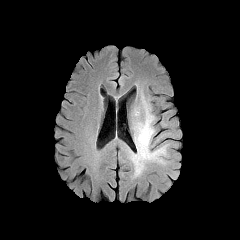
FLAIR magnetic resonance.
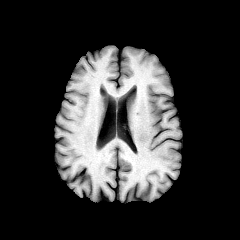
Same slice, T1-weighted MR image.
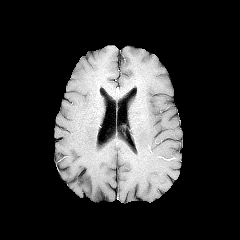
Same slice, post-contrast T1-weighted MR.
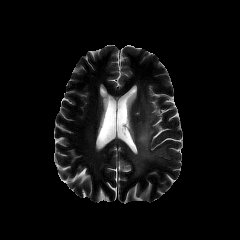
T2-weighted MR image.
Brain; Image size 240x240
{"peritumoral_edema": ["box(132, 102, 165, 172)"]}